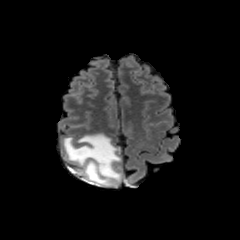
FLAIR MRI.
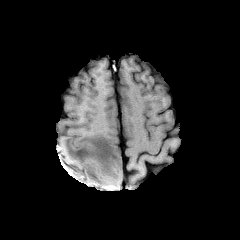
T1-weighted magnetic resonance of the same slice.
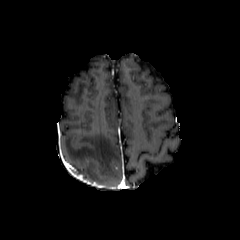
Post-contrast T1-weighted MR of the same slice.
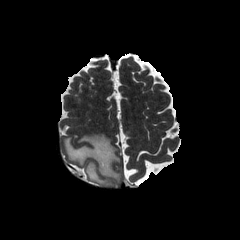
T2-weighted magnetic resonance.
Image size 240x240; Brain
The peritumoral edema lies within box=[63, 133, 123, 186].